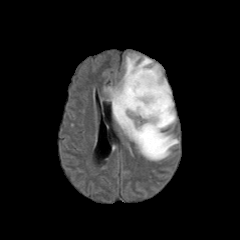
FLAIR MR.
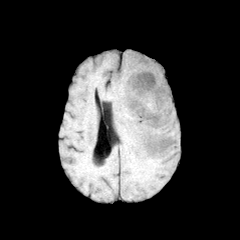
T1-weighted MR.
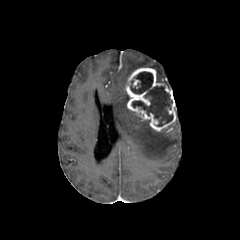
Same slice, post-contrast T1-weighted magnetic resonance.
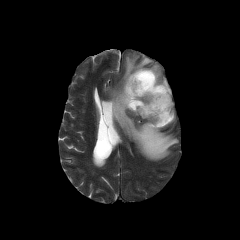
Same slice, T2-weighted MRI.
Brain. Axial plane. 240x240 px.
The necrotic tumor core lies within {"x1": 130, "y1": 71, "x2": 173, "y2": 126}. The peritumoral edema is bounded by {"x1": 105, "y1": 54, "x2": 178, "y2": 160}. The enhancing tumor lies within {"x1": 125, "y1": 67, "x2": 176, "y2": 131}.